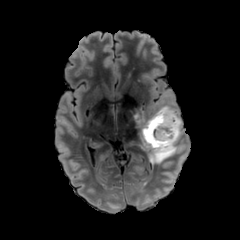
FLAIR magnetic resonance.
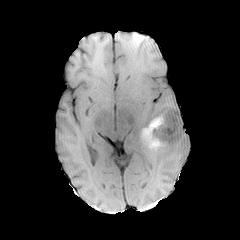
T1-weighted MR image.
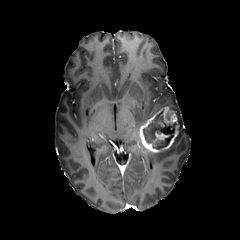
Same slice, post-contrast T1-weighted magnetic resonance.
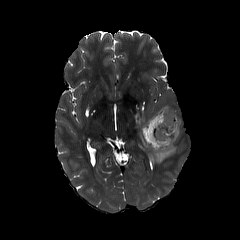
T2-weighted MR image.
Axial plane | Brain
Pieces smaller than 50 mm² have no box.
necrotic tumor core: bounding box {"x1": 143, "y1": 110, "x2": 176, "y2": 149}
enhancing tumor: bounding box {"x1": 137, "y1": 106, "x2": 179, "y2": 153}, {"x1": 154, "y1": 132, "x2": 169, "y2": 142}
peritumoral edema: bounding box {"x1": 146, "y1": 105, "x2": 184, "y2": 163}, {"x1": 134, "y1": 113, "x2": 147, "y2": 131}